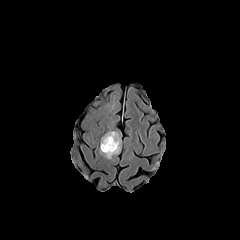
FLAIR MR.
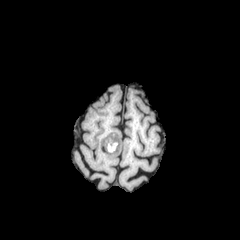
T1-weighted magnetic resonance.
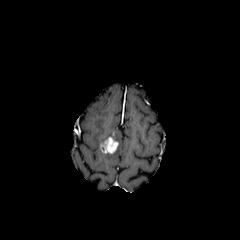
Same slice, post-contrast T1-weighted MRI.
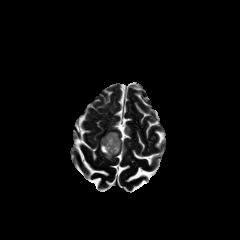
T2-weighted MR image.
Brain
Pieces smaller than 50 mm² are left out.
enhancing tumor: bounding box 100 137 118 153
peritumoral edema: bounding box 99 131 121 159